FLAIR magnetic resonance.
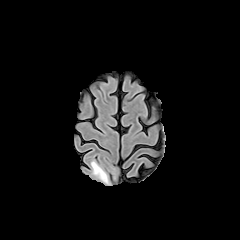
T1-weighted MR.
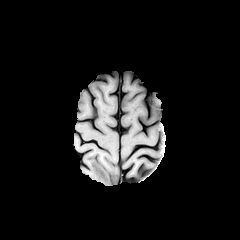
Post-contrast T1-weighted magnetic resonance.
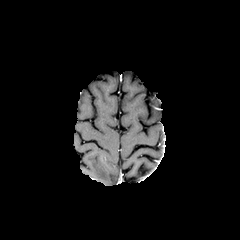
T2-weighted MR image.
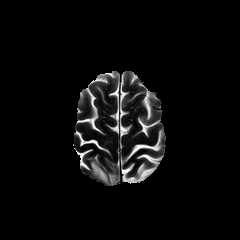
240x240 px. Axial plane.
{
  "peritumoral_edema": [
    "bbox(91, 161, 109, 184)"
  ]
}